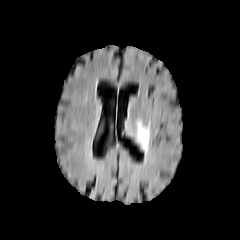
FLAIR magnetic resonance.
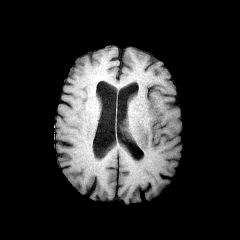
T1-weighted MRI of the same slice.
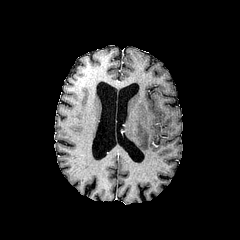
Post-contrast T1-weighted MR image.
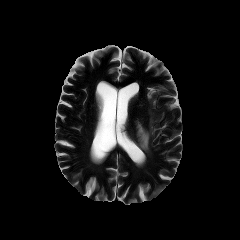
T2-weighted MR.
Axial plane, Head, 240x240
<segmentation>
  <peritumoral_edema>[136, 120, 150, 152]</peritumoral_edema>
</segmentation>